FLAIR magnetic resonance.
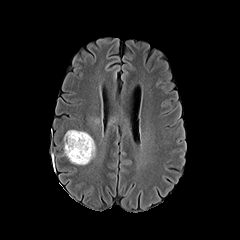
T1-weighted MR.
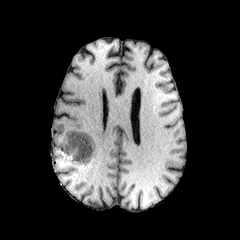
Post-contrast T1-weighted magnetic resonance.
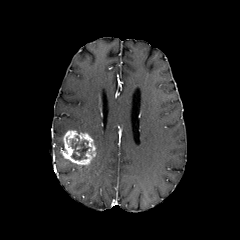
T2-weighted magnetic resonance.
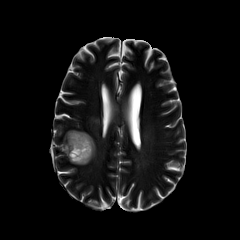
240x240
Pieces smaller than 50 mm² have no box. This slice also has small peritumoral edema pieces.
Findings:
- enhancing tumor: 63, 130, 95, 164
- necrotic tumor core: 71, 136, 89, 160